Slice index 84 | Axial view | 240x240 px
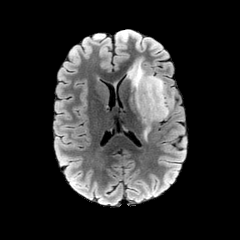
FLAIR MRI.
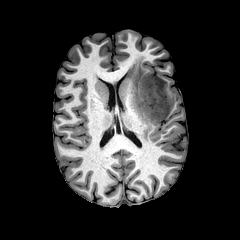
T1-weighted MRI.
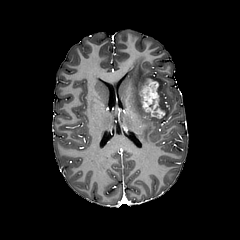
Same slice, post-contrast T1-weighted MR image.
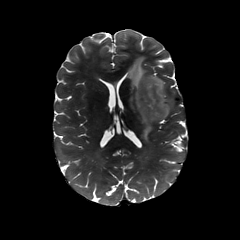
T2-weighted MR image.
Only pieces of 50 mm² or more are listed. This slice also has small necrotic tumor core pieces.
peritumoral_edema:
  - <box>127,59,172,140</box>
enhancing_tumor:
  - <box>140,78,165,118</box>